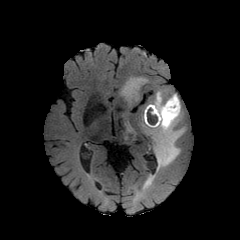
FLAIR magnetic resonance.
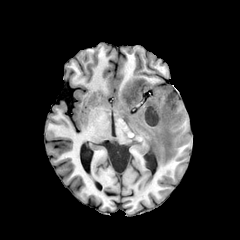
T1-weighted magnetic resonance of the same slice.
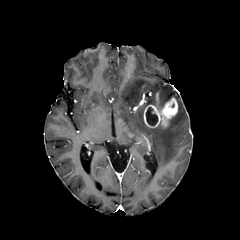
Post-contrast T1-weighted MRI.
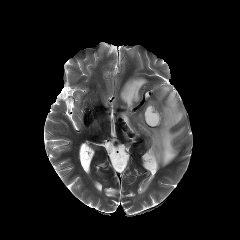
T2-weighted magnetic resonance.
Brain
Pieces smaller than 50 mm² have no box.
necrotic tumor core at box(146, 107, 157, 125)
peritumoral edema at box(121, 77, 147, 104); box(157, 86, 170, 107); box(142, 93, 185, 170)
enhancing tumor at box(144, 93, 177, 127)